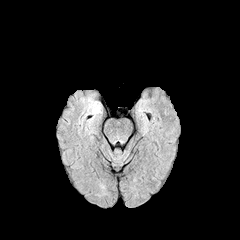
FLAIR MRI.
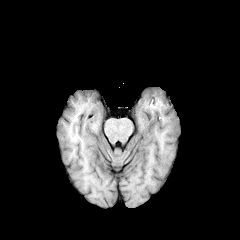
T1-weighted MRI.
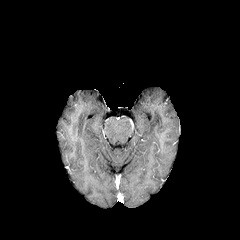
Same slice, post-contrast T1-weighted MR.
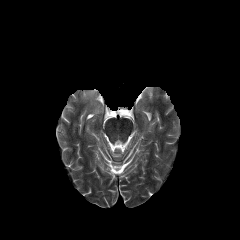
Same slice, T2-weighted MR.
The peritumoral edema lies within left=90, top=101, right=100, bottom=112.